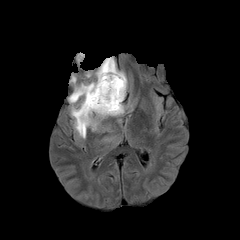
FLAIR MR image.
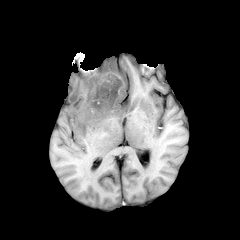
T1-weighted magnetic resonance.
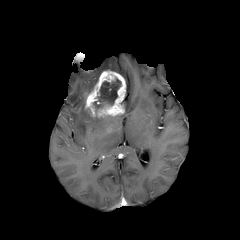
Post-contrast T1-weighted magnetic resonance of the same slice.
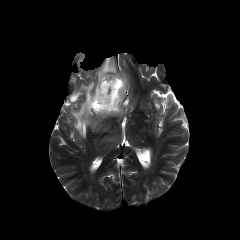
T2-weighted MR image of the same slice.
Image size 240x240, Head
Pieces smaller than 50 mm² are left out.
Annotated regions:
• necrotic tumor core: (left=92, top=77, right=121, bottom=113)
• peritumoral edema: (left=68, top=57, right=127, bottom=138)
• enhancing tumor: (left=83, top=70, right=126, bottom=117)